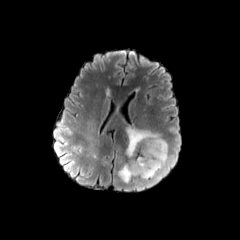
FLAIR magnetic resonance.
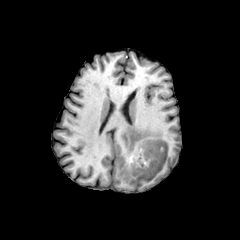
T1-weighted MRI.
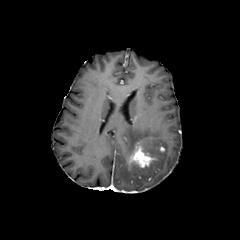
Post-contrast T1-weighted MR.
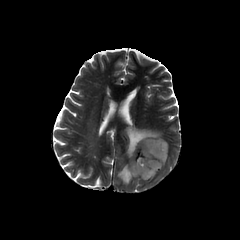
T2-weighted MR image of the same slice.
The peritumoral edema is bounded by (x1=118, y1=126, x2=167, y2=185). The enhancing tumor appears at (x1=131, y1=149, x2=153, y2=167).